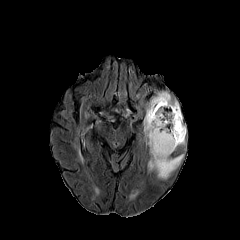
FLAIR MR image.
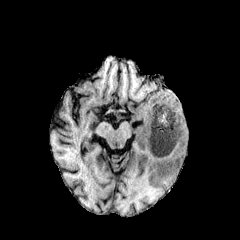
Same slice, T1-weighted MR image.
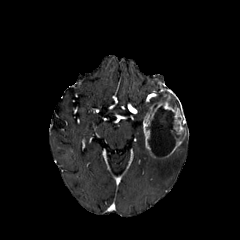
Same slice, post-contrast T1-weighted magnetic resonance.
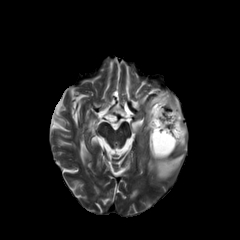
T2-weighted MR.
Head
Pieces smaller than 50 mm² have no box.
{
  "necrotic_tumor_core": [
    "[148, 106, 179, 157]"
  ],
  "enhancing_tumor": [
    "[143, 94, 186, 158]"
  ],
  "peritumoral_edema": [
    "[148, 154, 184, 179]",
    "[145, 92, 169, 112]",
    "[170, 96, 179, 107]"
  ]
}